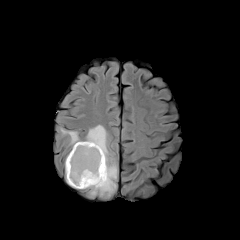
FLAIR MRI.
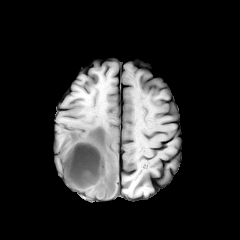
T1-weighted MRI.
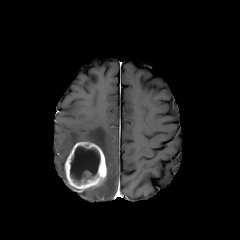
Post-contrast T1-weighted MR of the same slice.
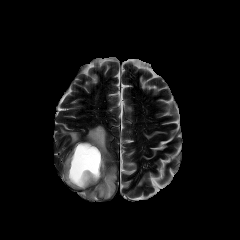
T2-weighted MR image of the same slice.
Axial plane, Brain
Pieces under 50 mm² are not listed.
peritumoral edema: l=85, t=125, r=117, b=197; l=61, t=128, r=83, b=147
necrotic tumor core: l=70, t=146, r=100, b=181
enhancing tumor: l=65, t=141, r=106, b=190